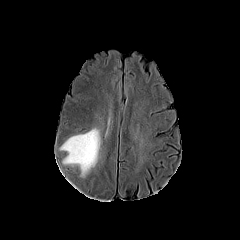
FLAIR MR image.
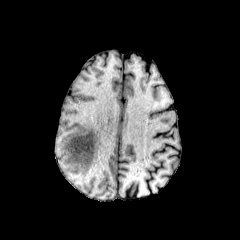
T1-weighted MR of the same slice.
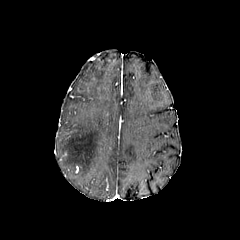
Post-contrast T1-weighted MR.
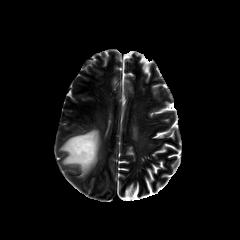
T2-weighted MR.
Axial view; Brain
peritumoral edema — 60:128:100:176